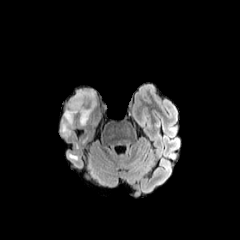
FLAIR MR.
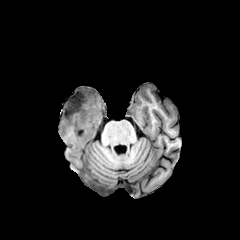
T1-weighted MRI of the same slice.
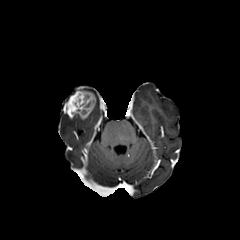
Same slice, post-contrast T1-weighted MR image.
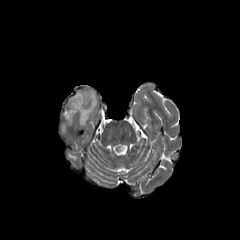
T2-weighted MR image of the same slice.
Head | 240x240 px | Axial slice
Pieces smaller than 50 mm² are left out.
peritumoral edema = l=61, t=114, r=72, b=136; l=79, t=115, r=89, b=126
enhancing tumor = l=63, t=90, r=96, b=119